Axial plane | 240x240 | Slice index 69 | Image covers 240 mm x 240 mm
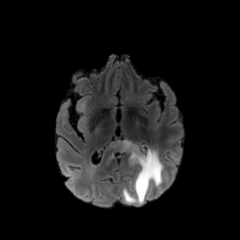
FLAIR MRI.
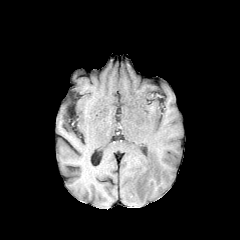
T1-weighted MR image.
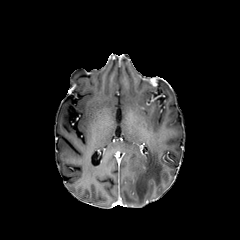
Post-contrast T1-weighted magnetic resonance.
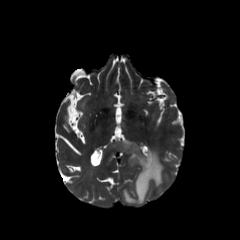
Same slice, T2-weighted MRI.
The peritumoral edema is bounded by [113,140,163,204].